FLAIR MR.
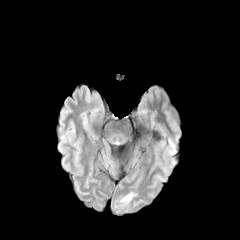
T1-weighted MRI.
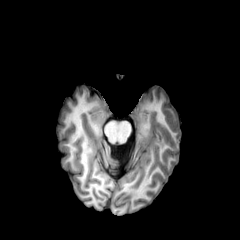
Post-contrast T1-weighted MRI.
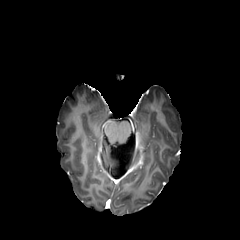
T2-weighted MR image.
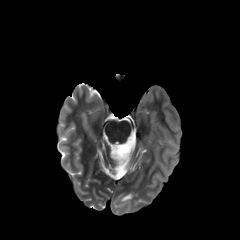
Axial view. Image size 240x240. Brain.
The peritumoral edema is bounded by <box>121,193,133,202</box>.